Slice 94 of 155.
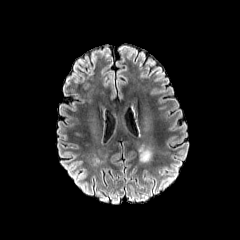
FLAIR MR image.
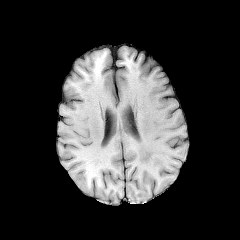
T1-weighted MRI.
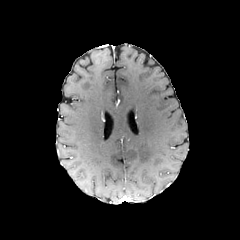
Post-contrast T1-weighted MRI.
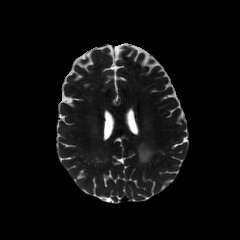
Same slice, T2-weighted MR.
The peritumoral edema appears at (139,145,151,161).